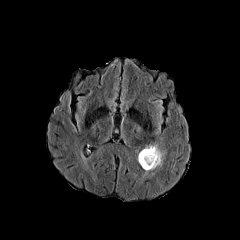
FLAIR MR image.
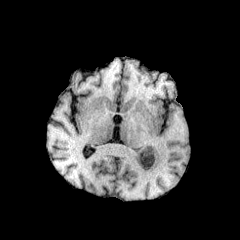
T1-weighted MR.
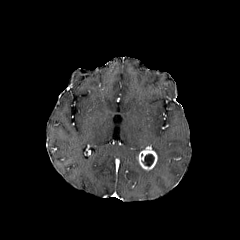
Post-contrast T1-weighted MR image.
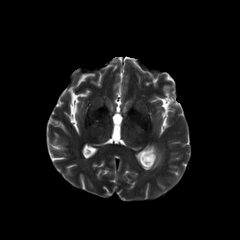
T2-weighted magnetic resonance.
Brain
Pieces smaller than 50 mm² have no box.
Segmented structures:
- enhancing tumor: box(138, 144, 157, 170)
- necrotic tumor core: box(141, 154, 154, 166)
- peritumoral edema: box(152, 144, 164, 169)